Image covers 240 mm x 240 mm; Axial slice; Head; 240x240; Slice index 51
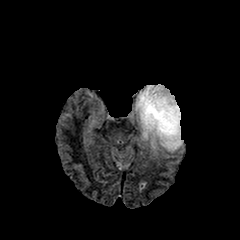
FLAIR MRI.
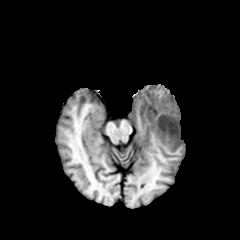
Same slice, T1-weighted MR.
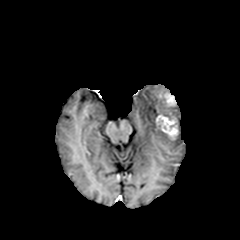
Post-contrast T1-weighted MRI.
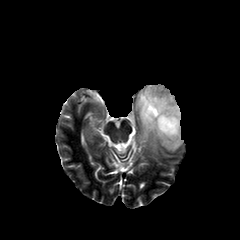
T2-weighted MR.
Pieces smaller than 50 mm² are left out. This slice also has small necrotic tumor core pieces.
2 enhancing tumor regions are located at [159, 93, 175, 107], [156, 114, 178, 139]. The peritumoral edema is bounded by [135, 84, 183, 152].